Axial plane, Slice 67/155
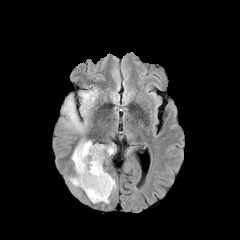
FLAIR MRI.
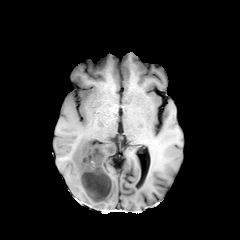
T1-weighted MR.
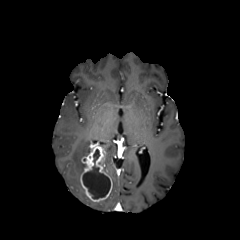
Post-contrast T1-weighted MRI.
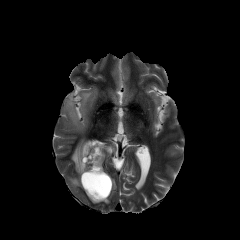
T2-weighted MR of the same slice.
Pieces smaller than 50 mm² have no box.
{
  "enhancing_tumor": [
    "bbox(80, 143, 112, 202)"
  ],
  "peritumoral_edema": [
    "bbox(69, 139, 91, 187)",
    "bbox(99, 144, 115, 156)",
    "bbox(63, 96, 86, 131)",
    "bbox(80, 90, 96, 117)"
  ],
  "necrotic_tumor_core": [
    "bbox(93, 149, 99, 163)",
    "bbox(82, 165, 110, 198)"
  ]
}